Axial view | Head | Image width 240 mm
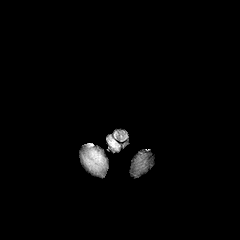
FLAIR MRI.
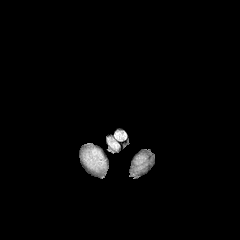
Same slice, T1-weighted MR.
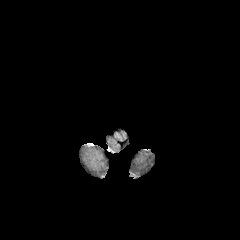
Post-contrast T1-weighted MR.
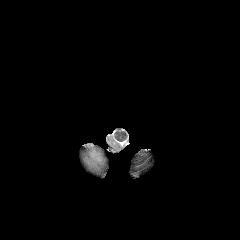
T2-weighted magnetic resonance.
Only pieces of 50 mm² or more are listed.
{"peritumoral_edema": ["84 147 103 169", "108 136 118 149"]}